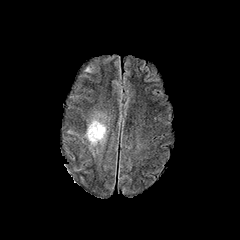
FLAIR MR.
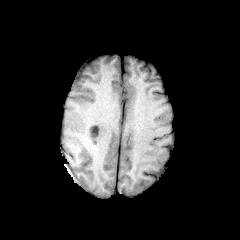
T1-weighted MR image.
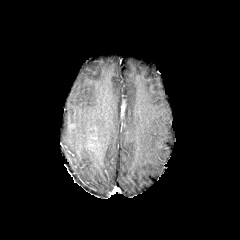
Post-contrast T1-weighted magnetic resonance.
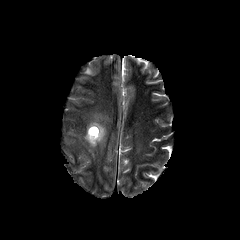
T2-weighted MR image.
240x240 px, Axial slice
{"enhancing_tumor": ["bbox=[91, 127, 96, 138]"], "peritumoral_edema": ["bbox=[87, 120, 105, 144]"]}